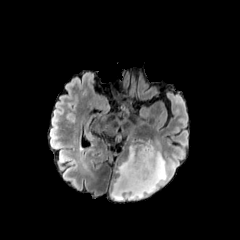
FLAIR MR.
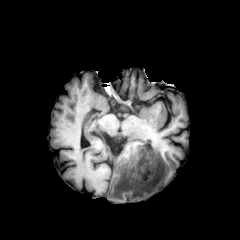
T1-weighted MRI of the same slice.
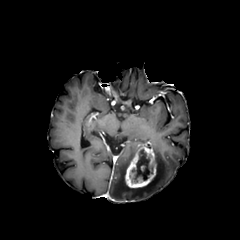
Post-contrast T1-weighted MRI.
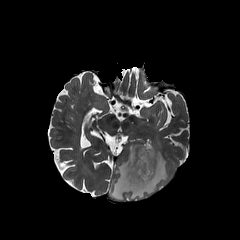
T2-weighted MR.
240x240 px, Head, Axial view
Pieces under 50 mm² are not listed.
The largest enhancing tumor region appears at (left=125, top=143, right=156, bottom=188). The necrotic tumor core appears at (left=129, top=149, right=152, bottom=183). 2 peritumoral edema regions appear at (left=110, top=143, right=168, bottom=200), (left=135, top=139, right=148, bottom=145).